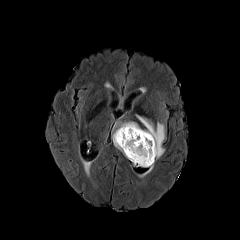
FLAIR magnetic resonance.
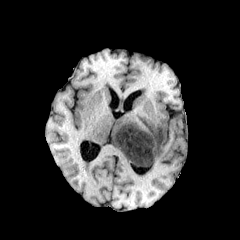
Same slice, T1-weighted MR image.
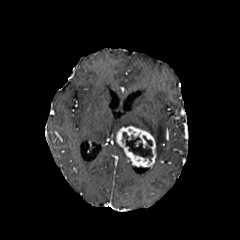
Post-contrast T1-weighted magnetic resonance of the same slice.
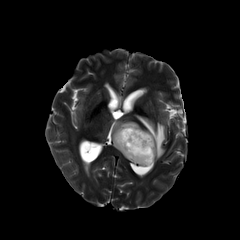
T2-weighted MR of the same slice.
Axial view
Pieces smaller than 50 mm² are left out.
The enhancing tumor lies within box=[115, 126, 156, 167]. The largest necrotic tumor core region appears at box=[123, 132, 152, 161]. 2 peritumoral edema regions are located at box=[136, 115, 164, 160]; box=[112, 121, 139, 157].